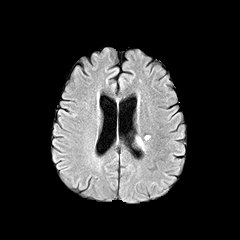
FLAIR MRI.
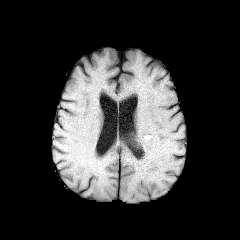
T1-weighted MR.
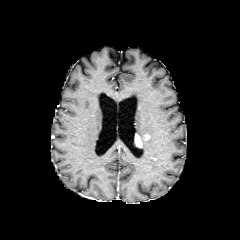
Post-contrast T1-weighted MRI of the same slice.
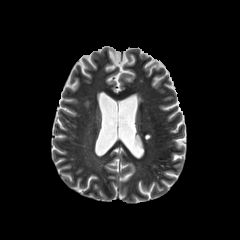
T2-weighted MRI.
Head; Axial plane
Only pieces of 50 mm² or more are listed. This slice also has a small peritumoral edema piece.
enhancing tumor: x1=135 y1=134 x2=142 y2=147